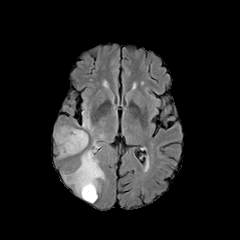
FLAIR MR.
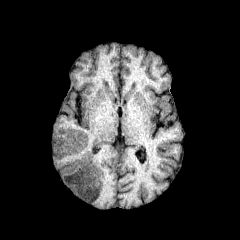
Same slice, T1-weighted MR image.
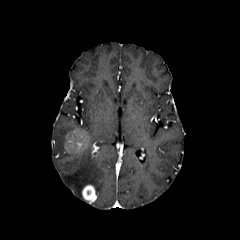
Same slice, post-contrast T1-weighted MR image.
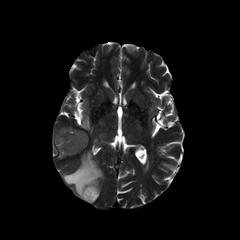
T2-weighted MR image.
Axial slice | 240x240
peritumoral_edema:
  - (63,150,104,197)
  - (55,126,74,157)
  - (82,112,92,131)
enhancing_tumor:
  - (82,184,97,202)
  - (64,129,88,153)